Slice index 44, 240x240 px
FLAIR MRI.
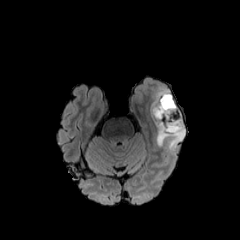
T1-weighted MRI.
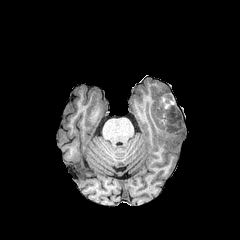
Post-contrast T1-weighted MR image.
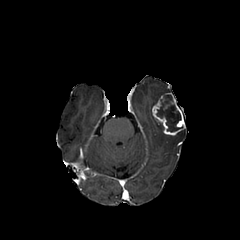
T2-weighted MR image.
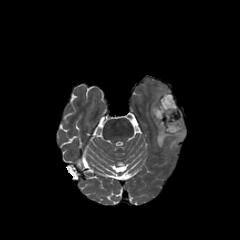
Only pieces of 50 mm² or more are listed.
peritumoral edema: l=151, t=90, r=170, b=114; l=155, t=120, r=185, b=151
enhancing tumor: l=152, t=92, r=185, b=135
necrotic tumor core: l=156, t=95, r=181, b=132